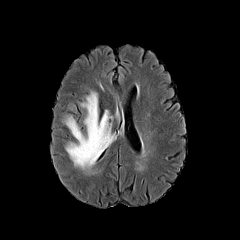
FLAIR MR.
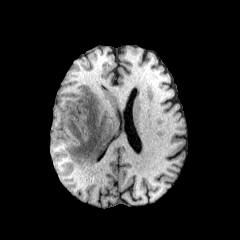
Same slice, T1-weighted magnetic resonance.
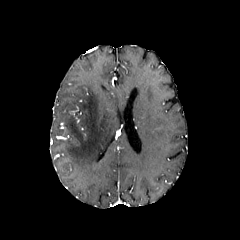
Same slice, post-contrast T1-weighted MRI.
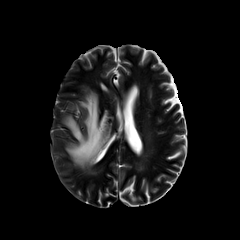
Same slice, T2-weighted MR image.
240x240 px
The peritumoral edema appears at (x1=64, y1=92, x2=113, y2=168).